FLAIR MRI.
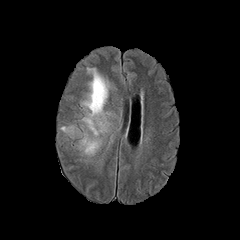
T1-weighted MRI.
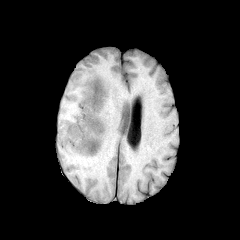
Post-contrast T1-weighted MRI.
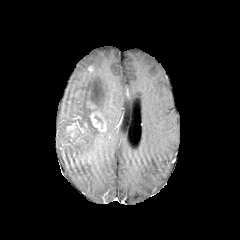
T2-weighted MRI.
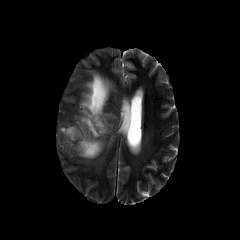
Image size 240x240 | Axial slice
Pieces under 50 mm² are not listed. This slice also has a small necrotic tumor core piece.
Segmented structures:
* enhancing tumor: x1=90, y1=141, x2=98, y2=153; x1=67, y1=125, x2=75, y2=137; x1=90, y1=112, x2=107, y2=132
* peritumoral edema: x1=60, y1=126, x2=71, y2=137; x1=72, y1=68, x2=110, y2=158